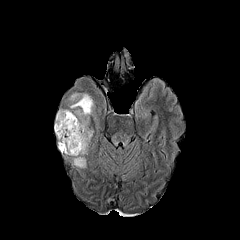
FLAIR MR image.
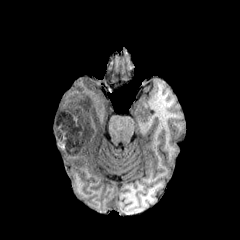
T1-weighted magnetic resonance.
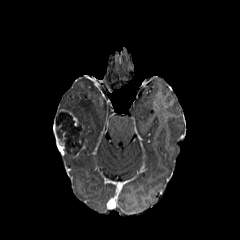
Post-contrast T1-weighted magnetic resonance.
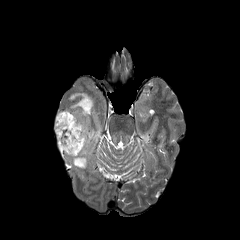
T2-weighted MR image of the same slice.
240x240 px, Brain
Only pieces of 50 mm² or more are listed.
The 2 largest enhancing tumor regions are bounded by [x1=54, y1=125, x2=64, y2=154], [x1=68, y1=112, x2=77, y2=125]. The necrotic tumor core is located at [x1=56, y1=113, x2=88, y2=153]. The 2 largest peritumoral edema regions appear at [x1=73, y1=157, x2=86, y2=168], [x1=56, y1=93, x2=93, y2=141].